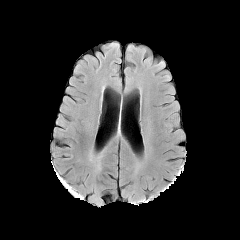
FLAIR MR.
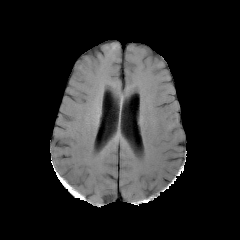
T1-weighted MR of the same slice.
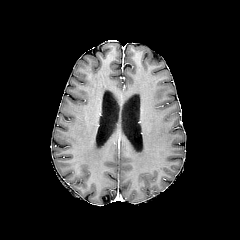
Same slice, post-contrast T1-weighted MR.
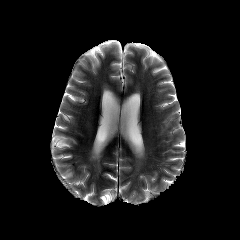
Same slice, T2-weighted MRI.
Head | Image size 240x240
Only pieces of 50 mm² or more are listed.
<segmentation>
  <peritumoral_edema>165:112:174:127</peritumoral_edema>
</segmentation>